FLAIR MR image.
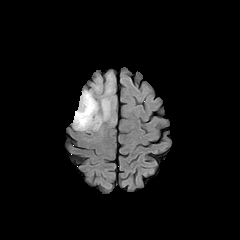
T1-weighted magnetic resonance.
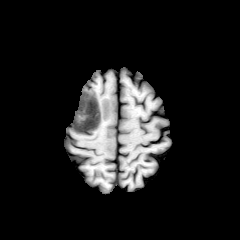
Post-contrast T1-weighted MR image.
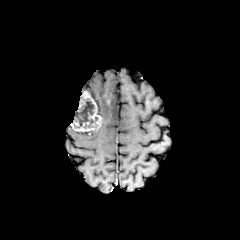
T2-weighted MRI.
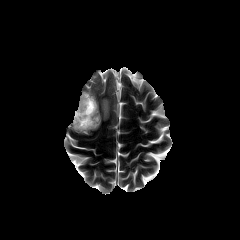
Axial view | Brain
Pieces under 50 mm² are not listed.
necrotic tumor core at [74, 100, 93, 126]
peritumoral edema at [106, 83, 112, 94], [96, 97, 115, 124]
enhancing tumor at [71, 91, 101, 131]